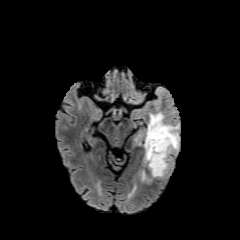
FLAIR magnetic resonance.
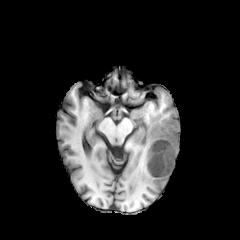
T1-weighted MR.
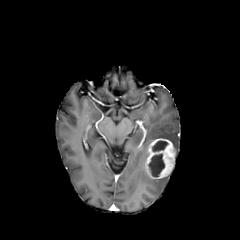
Post-contrast T1-weighted magnetic resonance of the same slice.
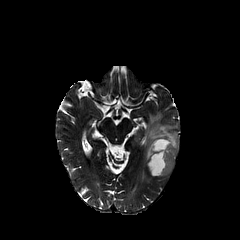
T2-weighted magnetic resonance.
Head, Axial view, 240x240 px
necrotic tumor core: 148,154,164,177; 152,141,167,151 | peritumoral edema: 144,112,179,162; 141,171,149,181 | enhancing tumor: 145,138,175,178